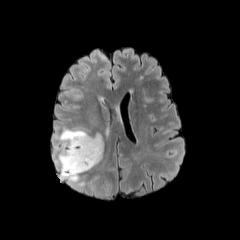
FLAIR magnetic resonance.
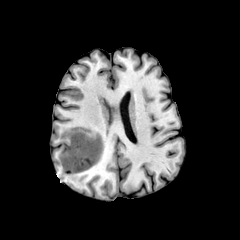
T1-weighted MR.
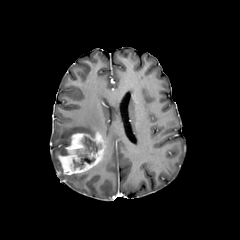
Post-contrast T1-weighted magnetic resonance.
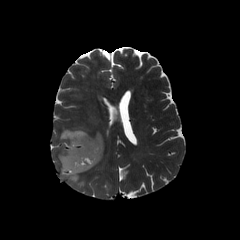
T2-weighted MRI of the same slice.
240x240 px; Brain; Axial view
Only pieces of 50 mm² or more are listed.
The enhancing tumor lies within [x1=58, y1=131, x2=105, y2=174]. The largest necrotic tumor core region is located at [x1=73, y1=136, x2=99, y2=168]. 2 peritumoral edema regions are located at [x1=54, y1=157, x2=84, y2=185], [x1=54, y1=127, x2=89, y2=155].